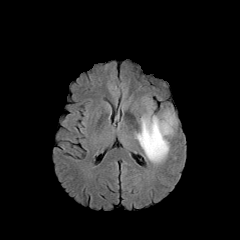
FLAIR magnetic resonance.
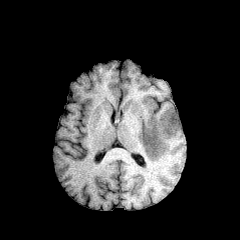
T1-weighted MR image.
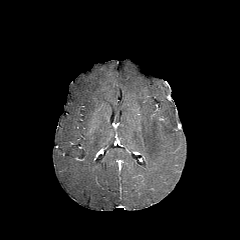
Post-contrast T1-weighted MRI of the same slice.
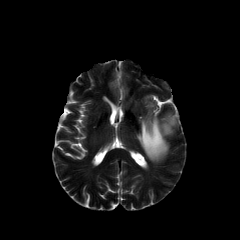
T2-weighted MR image.
Brain
The peritumoral edema is bounded by (x1=136, y1=110, x2=176, y2=163).